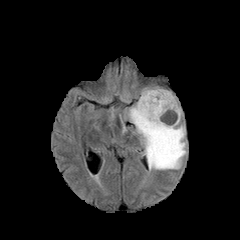
FLAIR magnetic resonance.
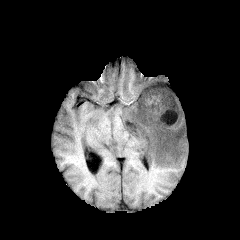
T1-weighted MR of the same slice.
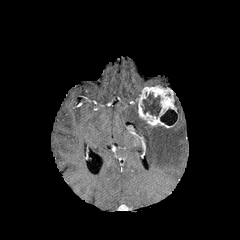
Post-contrast T1-weighted magnetic resonance.
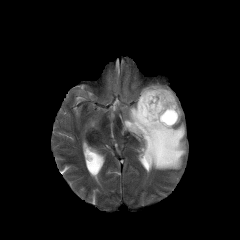
T2-weighted MRI.
240x240
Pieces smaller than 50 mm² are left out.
enhancing tumor: bounding box box(138, 85, 179, 127)
necrotic tumor core: bounding box box(142, 93, 161, 116); box(160, 108, 177, 125)
peritumoral edema: bounding box box(127, 95, 186, 170)